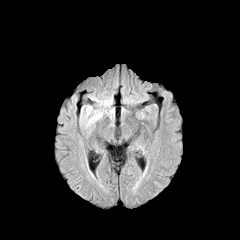
FLAIR MRI.
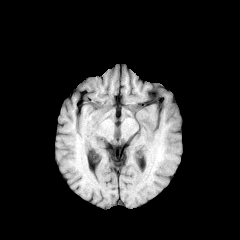
T1-weighted MRI.
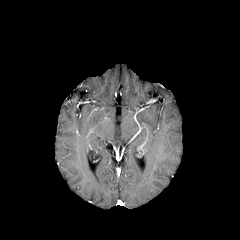
Same slice, post-contrast T1-weighted magnetic resonance.
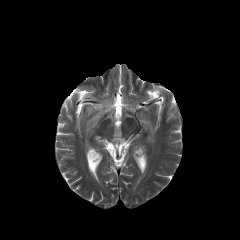
T2-weighted MRI.
240x240 px
peritumoral edema at box=[89, 94, 111, 104]; box=[81, 106, 102, 127]; box=[110, 108, 115, 120]